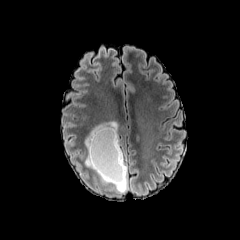
FLAIR magnetic resonance.
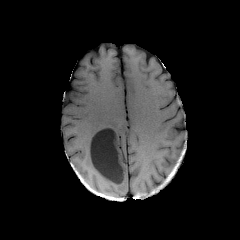
Same slice, T1-weighted MR.
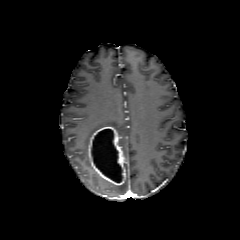
Same slice, post-contrast T1-weighted MR image.
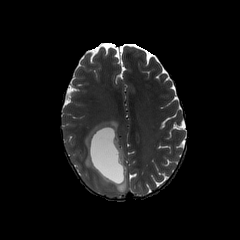
Same slice, T2-weighted MR.
240x240 px
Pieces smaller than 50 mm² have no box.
peritumoral edema = (85,121,127,192)
necrotic tumor core = (91,129,122,182)
enhancing tumor = (88,126,125,185)